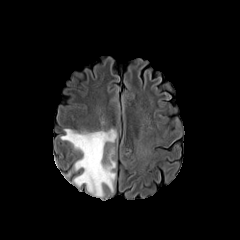
FLAIR MR.
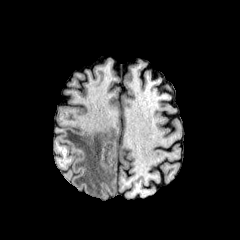
T1-weighted MRI.
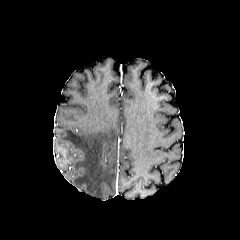
Post-contrast T1-weighted magnetic resonance.
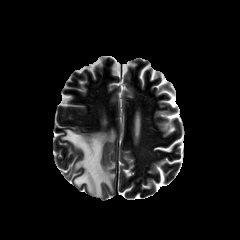
T2-weighted MR.
Head, 240x240 px
peritumoral edema — x1=61 y1=129 x2=116 y2=197